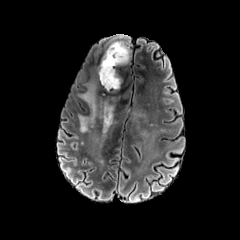
FLAIR MR image.
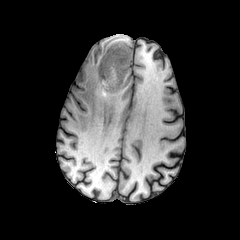
T1-weighted MRI.
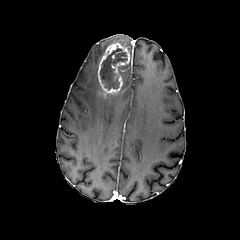
Post-contrast T1-weighted magnetic resonance of the same slice.
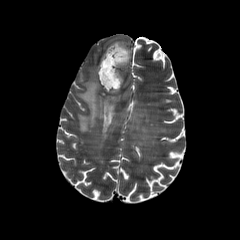
Same slice, T2-weighted MR image.
Head.
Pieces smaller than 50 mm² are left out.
Segmented structures:
• enhancing tumor: x1=98, y1=42, x2=130, y2=95
• peritumoral edema: x1=111, y1=34, x2=128, y2=47; x1=78, y1=82, x2=119, y2=132
• necrotic tumor core: x1=100, y1=48, x2=127, y2=89